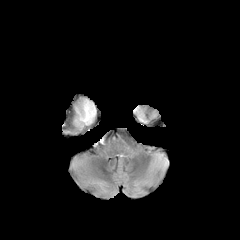
FLAIR magnetic resonance.
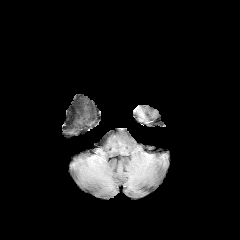
T1-weighted MR image.
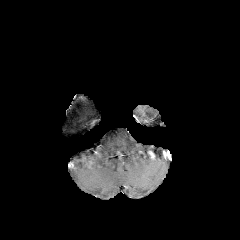
Same slice, post-contrast T1-weighted MRI.
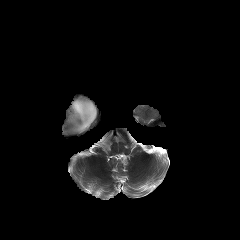
T2-weighted magnetic resonance.
240x240 px
The peritumoral edema is bounded by 73 98 96 130.